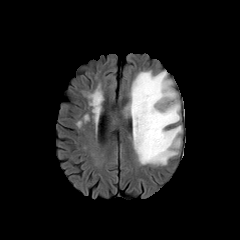
FLAIR MR image.
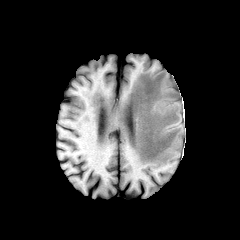
T1-weighted MR image.
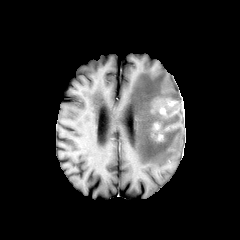
Same slice, post-contrast T1-weighted MRI.
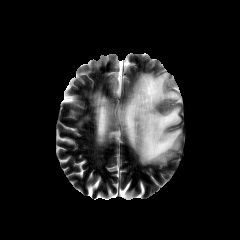
Same slice, T2-weighted MRI.
Axial plane; Head
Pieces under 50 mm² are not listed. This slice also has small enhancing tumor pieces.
peritumoral edema = region(126, 70, 182, 165)